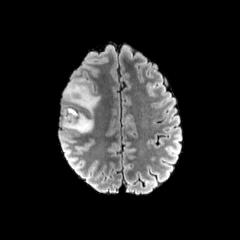
FLAIR MR image.
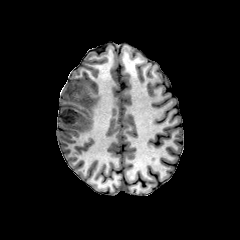
Same slice, T1-weighted magnetic resonance.
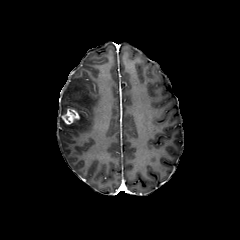
Post-contrast T1-weighted MR image.
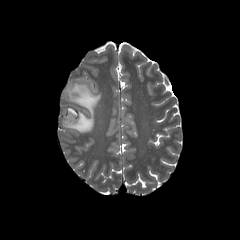
T2-weighted MR image.
peritumoral_edema:
  - <box>60,77,100,133</box>
enhancing_tumor:
  - <box>62,108,79,124</box>